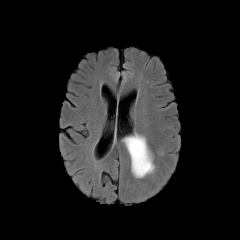
FLAIR MRI.
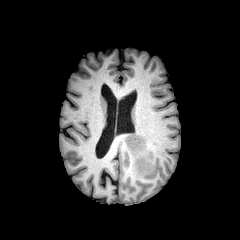
Same slice, T1-weighted MRI.
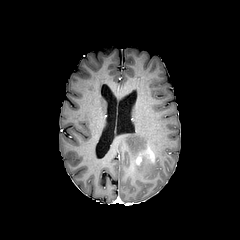
Post-contrast T1-weighted MR.
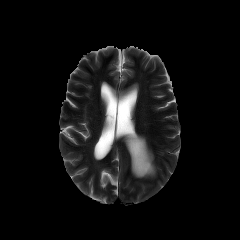
T2-weighted magnetic resonance.
Axial slice
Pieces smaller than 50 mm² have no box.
peritumoral edema: 123 133 154 178 | enhancing tumor: 136 153 141 165